FLAIR magnetic resonance.
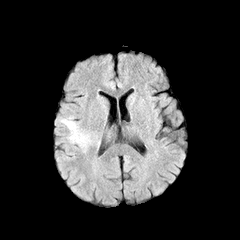
T1-weighted MR.
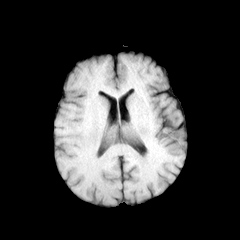
Post-contrast T1-weighted MR image.
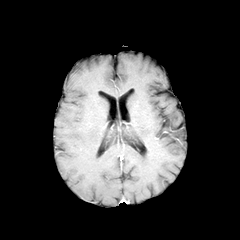
T2-weighted magnetic resonance.
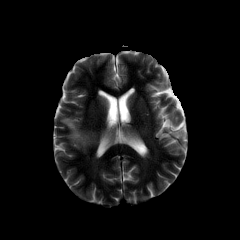
Brain
<segmentation>
  <peritumoral_edema>61, 119, 89, 145</peritumoral_edema>
</segmentation>